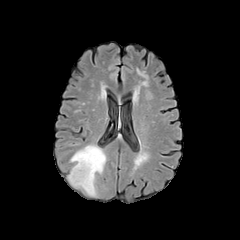
FLAIR MR.
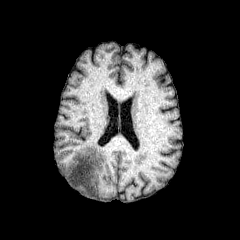
T1-weighted MR image.
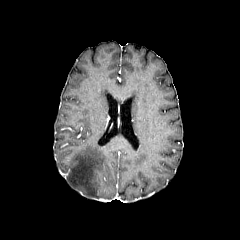
Post-contrast T1-weighted MR image of the same slice.
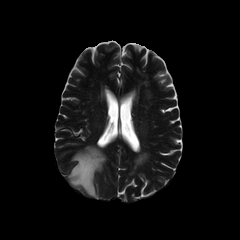
T2-weighted MRI.
peritumoral edema: [68,145,106,196]